FLAIR MR image.
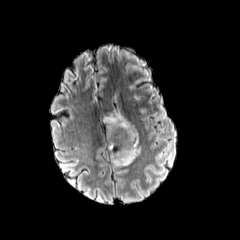
T1-weighted MRI.
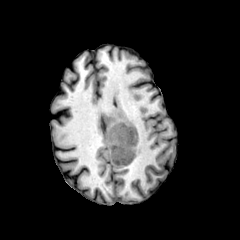
Post-contrast T1-weighted MRI.
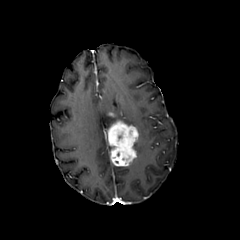
T2-weighted MR image.
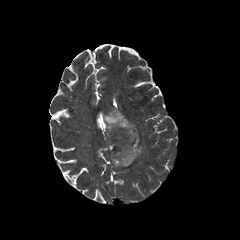
Axial slice, Brain
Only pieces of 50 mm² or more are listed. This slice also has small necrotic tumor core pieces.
peritumoral edema: l=104, t=110, r=132, b=129
enhancing tumor: l=107, t=119, r=138, b=166